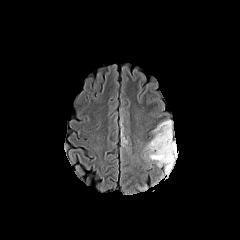
FLAIR magnetic resonance.
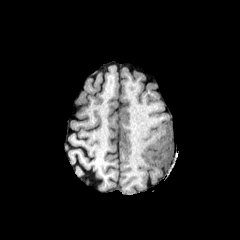
T1-weighted MR of the same slice.
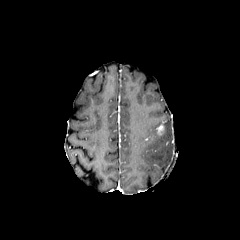
Post-contrast T1-weighted MR image.
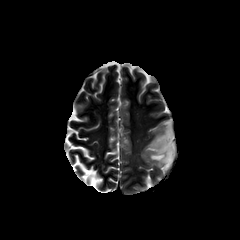
T2-weighted MRI.
Head.
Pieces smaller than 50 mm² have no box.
enhancing tumor = <box>156,124,164,135</box>
peritumoral edema = <box>145,119,176,174</box>, <box>120,124,129,147</box>